FLAIR magnetic resonance.
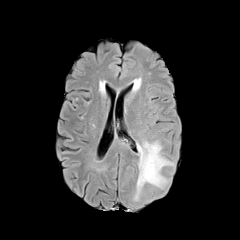
T1-weighted MRI.
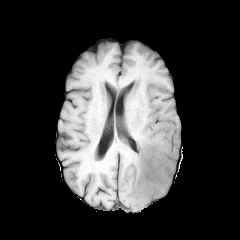
Post-contrast T1-weighted MR.
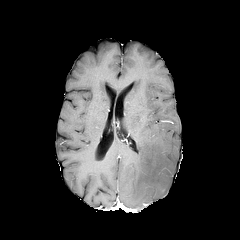
T2-weighted magnetic resonance.
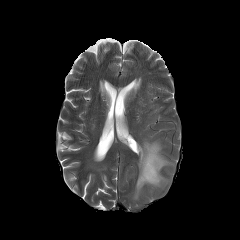
Axial view
{
  "peritumoral_edema": [
    "(left=133, top=140, right=173, bottom=200)"
  ]
}